Brain | Slice 85 of 155
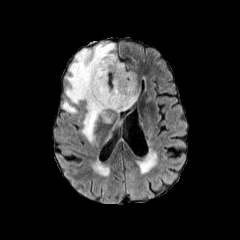
FLAIR MRI.
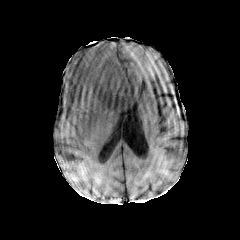
Same slice, T1-weighted MR image.
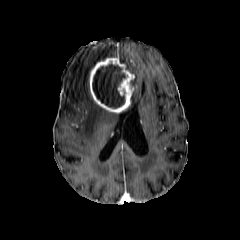
Post-contrast T1-weighted magnetic resonance.
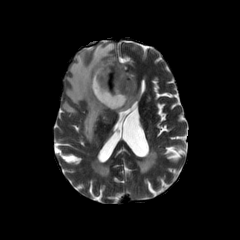
T2-weighted MR of the same slice.
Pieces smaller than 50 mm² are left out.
{"enhancing_tumor": ["left=89, top=57, right=134, bottom=113"], "necrotic_tumor_core": ["left=92, top=64, right=125, bottom=107"], "peritumoral_edema": ["left=65, top=42, right=116, bottom=142", "left=62, top=100, right=77, bottom=114", "left=131, top=72, right=137, bottom=104"]}